Slice 81 of 155, Image width 240 mm, Axial view, Brain
FLAIR MR.
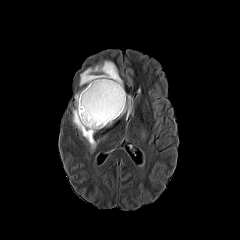
T1-weighted MR image.
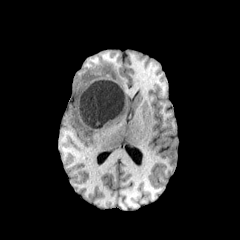
Post-contrast T1-weighted MR image.
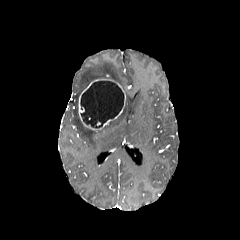
T2-weighted magnetic resonance.
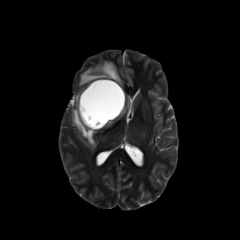
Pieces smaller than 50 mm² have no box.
peritumoral edema: bounding box box(79, 60, 123, 88); box(118, 94, 133, 118); box(72, 89, 98, 150)
enhancing tumor: bounding box box(78, 78, 125, 130)
necrotic tumor core: bounding box box(80, 81, 124, 128)